FLAIR MRI.
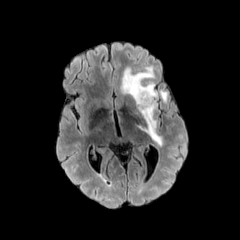
T1-weighted MR.
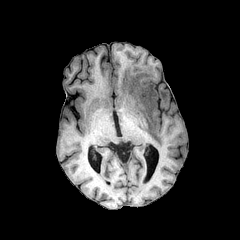
Post-contrast T1-weighted MR.
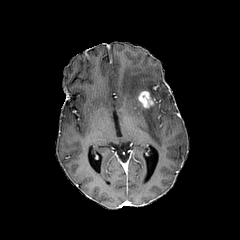
T2-weighted magnetic resonance.
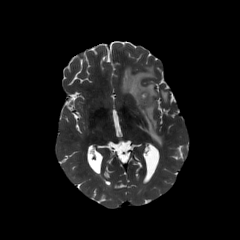
Axial slice | 240x240 px | Brain
<segmentation>
  <peritumoral_edema>l=121, t=66, r=162, b=146; l=160, t=90, r=167, b=102</peritumoral_edema>
  <enhancing_tumor>l=138, t=91, r=155, b=108</enhancing_tumor>
</segmentation>